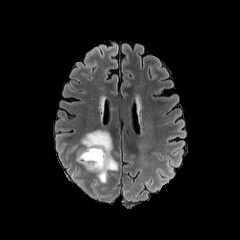
FLAIR magnetic resonance.
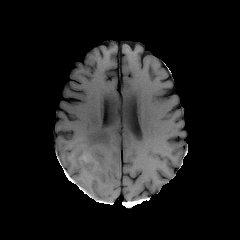
T1-weighted MRI.
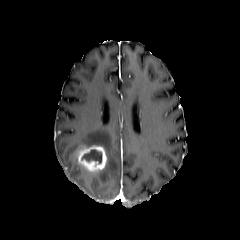
Post-contrast T1-weighted MR image.
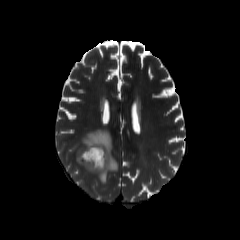
T2-weighted MR.
Axial slice
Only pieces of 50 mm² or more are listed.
<segmentation>
  <necrotic_tumor_core><box>82,150,101,162</box></necrotic_tumor_core>
  <peritumoral_edema><box>81,130,118,182</box></peritumoral_edema>
  <enhancing_tumor><box>77,145,107,172</box></enhancing_tumor>
</segmentation>